FLAIR magnetic resonance.
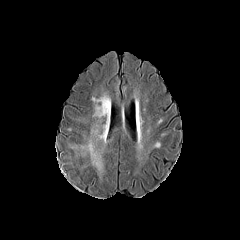
T1-weighted magnetic resonance.
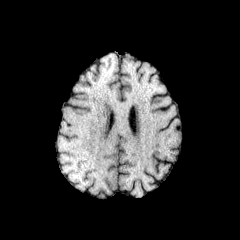
Post-contrast T1-weighted magnetic resonance.
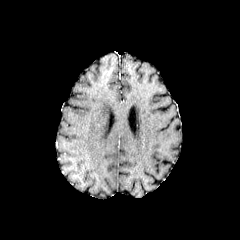
T2-weighted MRI.
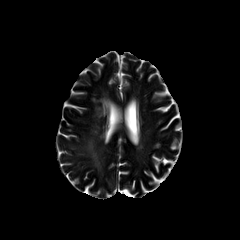
240x240
<segmentation>
  <peritumoral_edema>{"x1": 87, "y1": 142, "x2": 101, "y2": 169}, {"x1": 92, "y1": 96, "x2": 108, "y2": 117}</peritumoral_edema>
</segmentation>